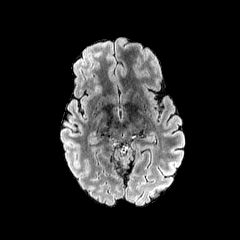
FLAIR MR.
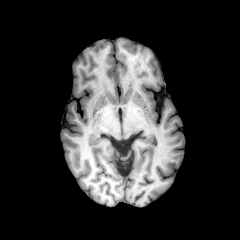
T1-weighted MR.
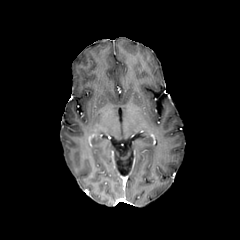
Same slice, post-contrast T1-weighted MRI.
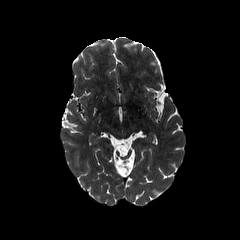
T2-weighted magnetic resonance.
240x240
Segmented structures:
- peritumoral edema: bbox=[94, 85, 101, 94]